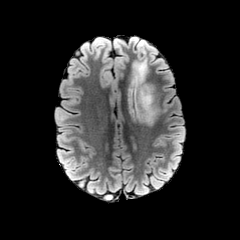
FLAIR magnetic resonance.
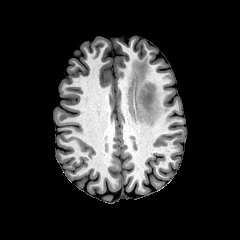
T1-weighted MR of the same slice.
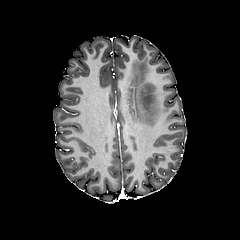
Post-contrast T1-weighted MR.
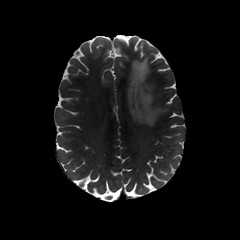
T2-weighted magnetic resonance.
Axial plane.
Findings:
- peritumoral edema: [127,61,158,124]